Brain. Image size 240x240. Slice 116 of 155. Axial view.
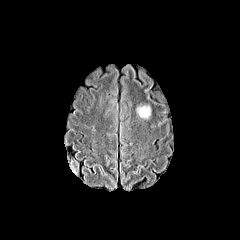
FLAIR magnetic resonance.
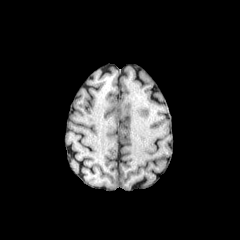
Same slice, T1-weighted MR.
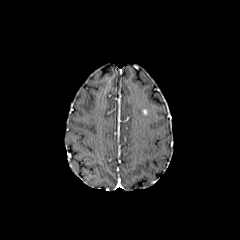
Post-contrast T1-weighted MRI.
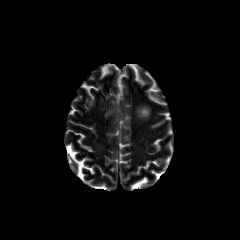
T2-weighted MR.
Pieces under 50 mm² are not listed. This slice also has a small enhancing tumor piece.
{
  "peritumoral_edema": [
    "l=137, t=105, r=150, b=118"
  ]
}